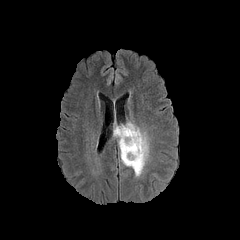
FLAIR MRI.
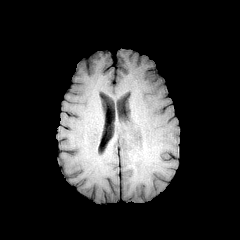
Same slice, T1-weighted MR.
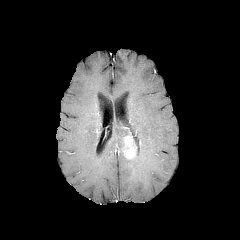
Post-contrast T1-weighted MRI of the same slice.
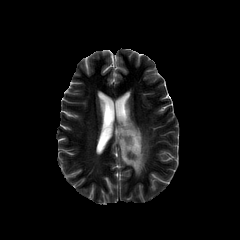
T2-weighted MRI.
Head; 240x240 px; Axial plane
enhancing tumor = x1=123 y1=138 x2=136 y2=158
peritumoral edema = x1=113 y1=122 x2=148 y2=176